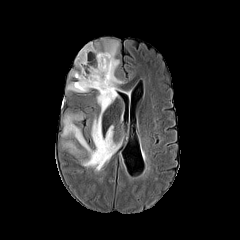
FLAIR MR.
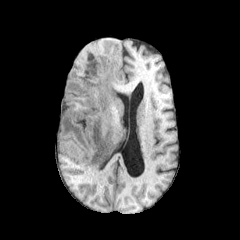
T1-weighted MR image.
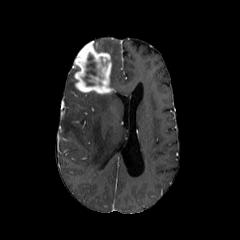
Same slice, post-contrast T1-weighted MR image.
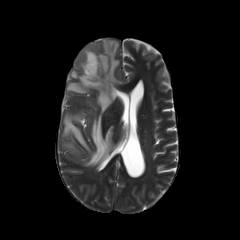
T2-weighted magnetic resonance of the same slice.
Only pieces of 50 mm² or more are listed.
* necrotic tumor core: (left=86, top=54, right=96, bottom=75)
* peritumoral edema: (left=62, top=40, right=122, bottom=167), (left=67, top=82, right=81, bottom=92), (left=63, top=142, right=80, bottom=153)
* enhancing tumor: (left=73, top=41, right=114, bottom=94)